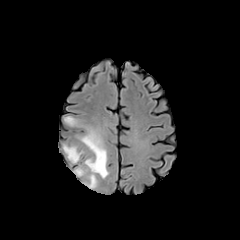
FLAIR magnetic resonance.
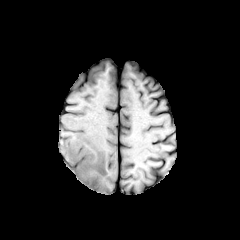
T1-weighted MR image.
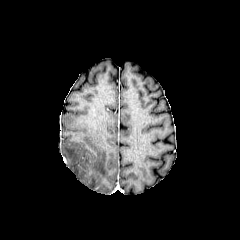
Post-contrast T1-weighted MRI.
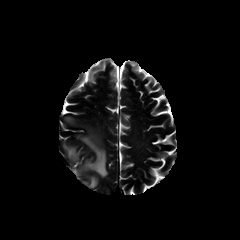
Same slice, T2-weighted magnetic resonance.
240x240. Axial slice. Head.
peritumoral edema: <bbox>73, 128, 108, 188</bbox>, <bbox>63, 144, 83, 163</bbox>, <bbox>64, 116, 76, 125</bbox>